FLAIR MR.
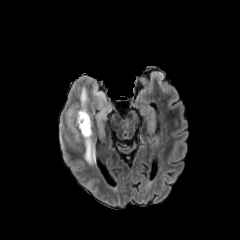
T1-weighted magnetic resonance.
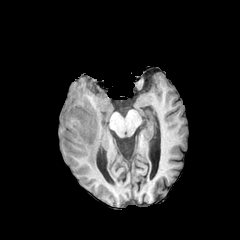
Post-contrast T1-weighted magnetic resonance.
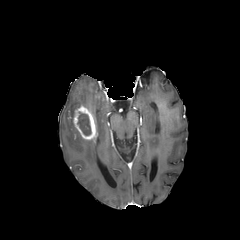
T2-weighted MRI.
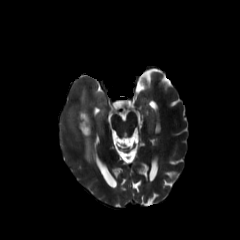
Axial plane
2 peritumoral edema regions are located at 61, 101, 81, 141; 75, 86, 115, 166. The enhancing tumor lies within 70, 103, 96, 141. The necrotic tumor core is located at 77, 112, 90, 135.